Head | Slice index 81
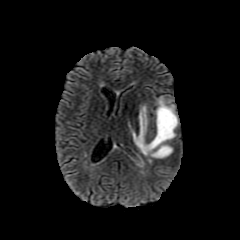
FLAIR magnetic resonance.
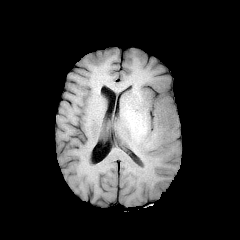
T1-weighted magnetic resonance of the same slice.
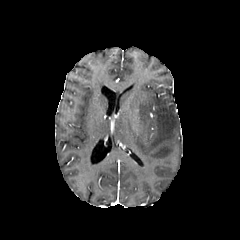
Post-contrast T1-weighted MR.
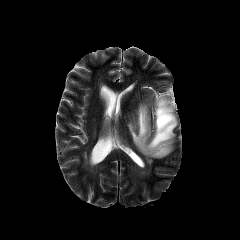
T2-weighted magnetic resonance.
The peritumoral edema is bounded by (left=128, top=96, right=178, bottom=163).